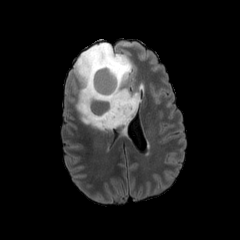
FLAIR MRI.
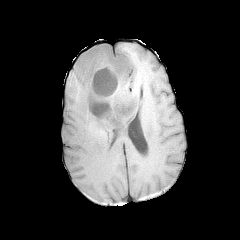
T1-weighted MR.
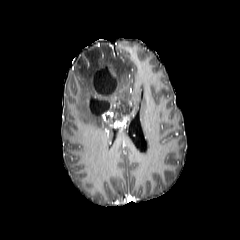
Post-contrast T1-weighted MR image of the same slice.
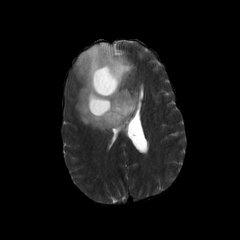
Same slice, T2-weighted MR image.
240x240 px
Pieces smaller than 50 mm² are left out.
<segmentation>
  <peritumoral_edema>73 42 139 130</peritumoral_edema>
  <enhancing_tumor>98 58 105 69, 106 63 116 78, 101 109 133 129</enhancing_tumor>
  <necrotic_tumor_core>90 98 109 115, 93 66 116 94</necrotic_tumor_core>
</segmentation>